FLAIR MR.
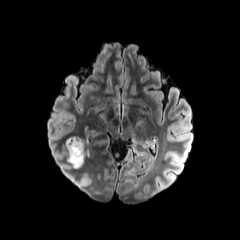
T1-weighted MRI.
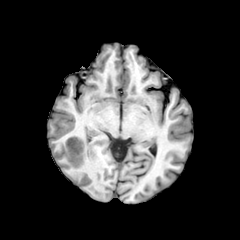
Post-contrast T1-weighted MR.
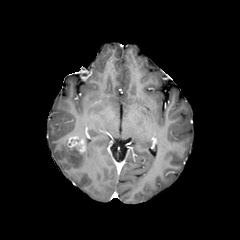
T2-weighted MR image.
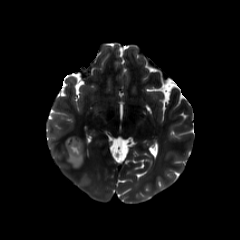
peritumoral edema: bbox=[66, 139, 84, 168] | enhancing tumor: bbox=[67, 136, 85, 152]